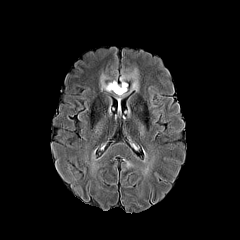
FLAIR MR.
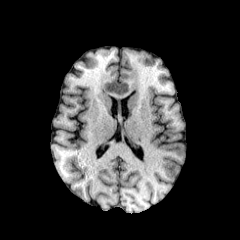
T1-weighted MR image.
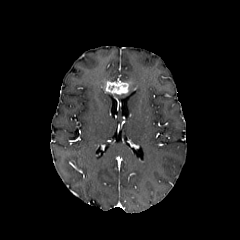
Post-contrast T1-weighted MRI.
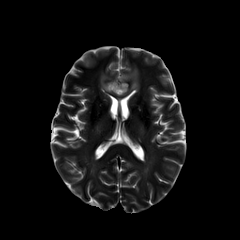
T2-weighted MR of the same slice.
240x240
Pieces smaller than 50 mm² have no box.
The 2 largest peritumoral edema regions are bounded by {"x1": 100, "y1": 73, "x2": 109, "y2": 90}, {"x1": 120, "y1": 66, "x2": 138, "y2": 92}. The enhancing tumor is at {"x1": 104, "y1": 81, "x2": 128, "y2": 94}. The necrotic tumor core lies within {"x1": 108, "y1": 84, "x2": 126, "y2": 91}.